Slice index 18. Image covers 240 mm x 240 mm. Axial slice.
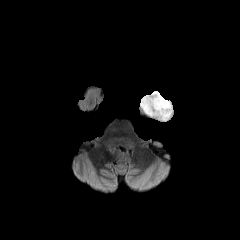
FLAIR magnetic resonance.
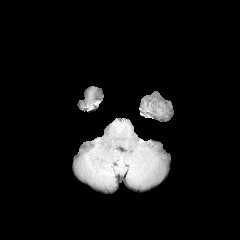
T1-weighted MR image of the same slice.
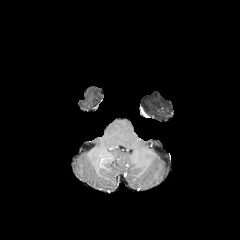
Post-contrast T1-weighted MR.
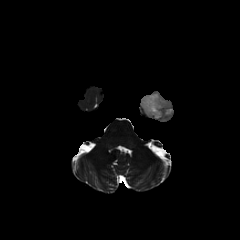
T2-weighted magnetic resonance of the same slice.
peritumoral edema: 140 91 173 121